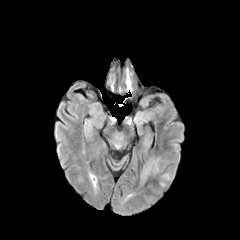
FLAIR MR image.
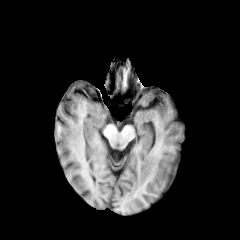
T1-weighted MR.
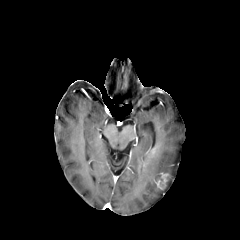
Post-contrast T1-weighted MR image.
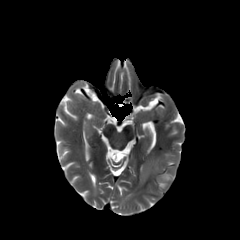
T2-weighted MR image of the same slice.
Axial plane
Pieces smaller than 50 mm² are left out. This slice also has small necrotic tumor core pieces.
The peritumoral edema appears at 140:157:162:182. The enhancing tumor is located at 153:172:173:188.